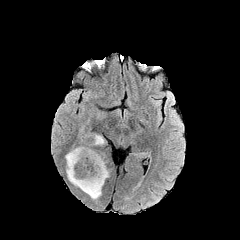
FLAIR MR image.
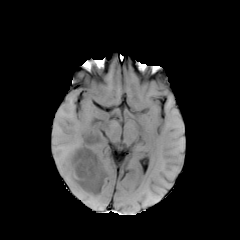
Same slice, T1-weighted magnetic resonance.
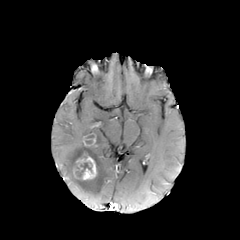
Post-contrast T1-weighted MRI.
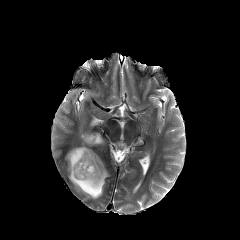
T2-weighted MR.
Brain
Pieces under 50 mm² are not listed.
• enhancing tumor: x1=83, y1=136, x2=95, y2=146; x1=75, y1=152, x2=97, y2=179
• peritumoral edema: x1=65, y1=126, x2=109, y2=199
• necrotic tumor core: x1=74, y1=162, x2=91, y2=178